Slice 94 of 155. Brain. 240x240 px.
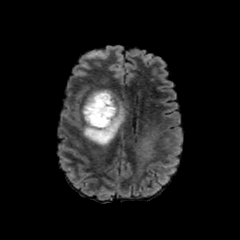
FLAIR MRI.
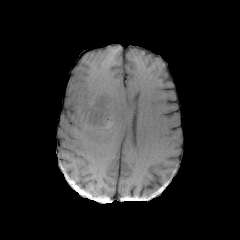
T1-weighted MR image of the same slice.
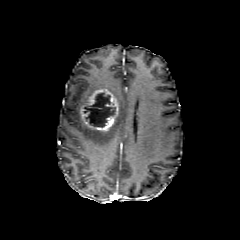
Post-contrast T1-weighted MR.
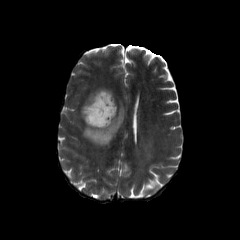
T2-weighted MR image.
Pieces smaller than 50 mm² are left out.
The necrotic tumor core lies within left=84, top=93, right=115, bottom=127. The enhancing tumor is at left=80, top=88, right=118, bottom=131. The 2 largest peritumoral edema regions are bounded by left=83, top=102, right=124, bottom=145; left=132, top=128, right=159, bottom=174.